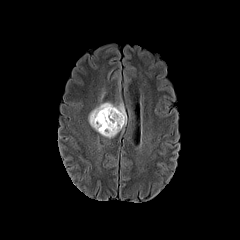
FLAIR MR.
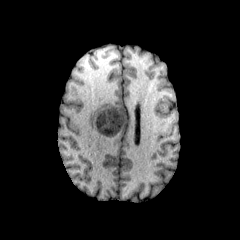
T1-weighted MR.
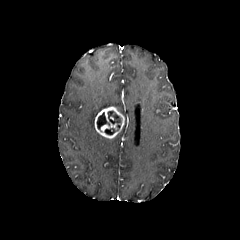
Post-contrast T1-weighted MRI.
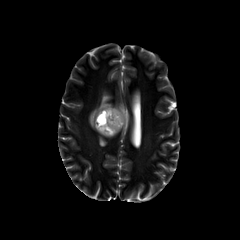
T2-weighted MRI.
Image size 240x240
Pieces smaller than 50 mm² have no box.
{
  "enhancing_tumor": [
    "(x1=94, y1=106, x2=124, y2=138)"
  ],
  "necrotic_tumor_core": [
    "(x1=108, y1=111, x2=120, y2=128)",
    "(x1=104, y1=128, x2=116, y2=134)",
    "(x1=97, y1=112, x2=109, y2=129)"
  ],
  "peritumoral_edema": [
    "(x1=88, y1=102, x2=126, y2=128)"
  ]
}